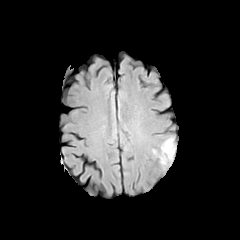
FLAIR MR.
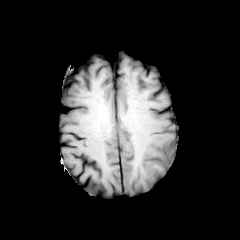
T1-weighted MR.
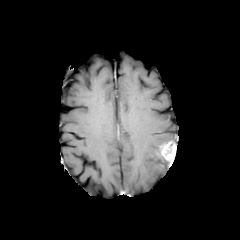
Same slice, post-contrast T1-weighted MRI.
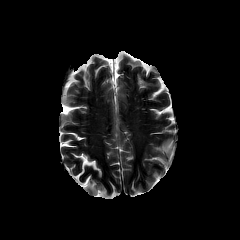
Same slice, T2-weighted MRI.
Head; Axial view; Image size 240x240
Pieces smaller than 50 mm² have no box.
The largest peritumoral edema region is at bbox=[152, 149, 168, 166]. The enhancing tumor is at bbox=[160, 141, 176, 165].